FLAIR magnetic resonance.
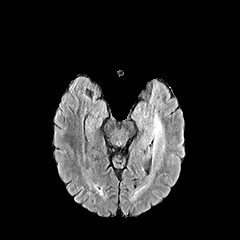
T1-weighted MR.
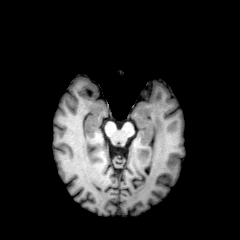
Post-contrast T1-weighted MR.
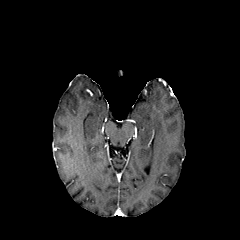
T2-weighted MRI.
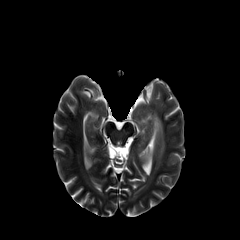
Image size 240x240, Axial view
The peritumoral edema is located at <box>152,110,165,159</box>.